FLAIR MRI.
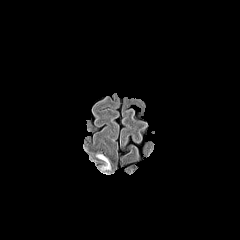
T1-weighted MR image.
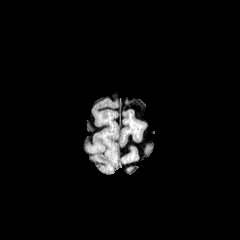
Post-contrast T1-weighted MR image.
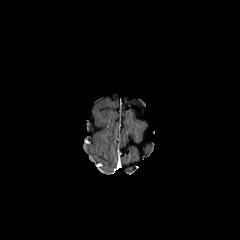
T2-weighted MR.
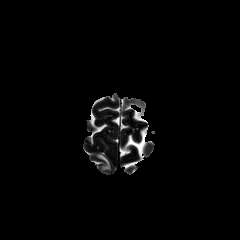
peritumoral edema = box(97, 155, 110, 169)